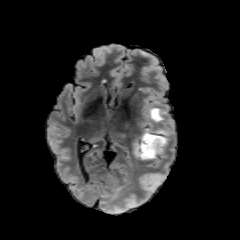
FLAIR MRI.
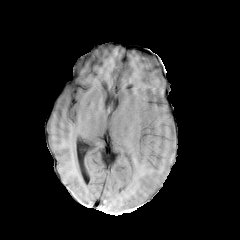
T1-weighted magnetic resonance of the same slice.
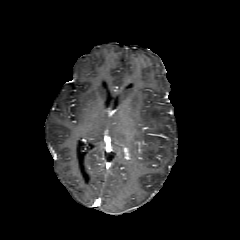
Same slice, post-contrast T1-weighted MRI.
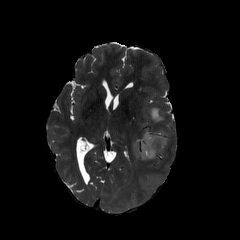
T2-weighted MR image of the same slice.
Head. Axial slice.
Segmented structures:
• peritumoral edema: (155, 128, 168, 136), (147, 107, 163, 121), (134, 135, 167, 159)
• enhancing tumor: (141, 141, 158, 151)